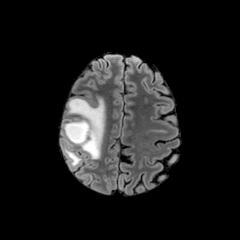
FLAIR MR image.
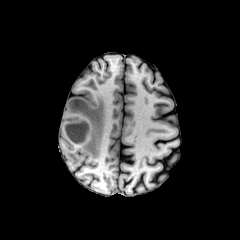
Same slice, T1-weighted MRI.
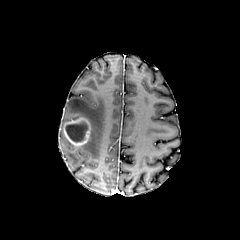
Same slice, post-contrast T1-weighted MR.
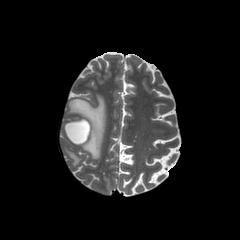
Same slice, T2-weighted MRI.
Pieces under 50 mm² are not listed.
The 2 largest peritumoral edema regions appear at 61 122 81 166, 67 96 105 159. The enhancing tumor is located at 63 117 91 146. The necrotic tumor core appears at 65 123 87 142.